Brain, Image width 240 mm, 1.00 mm slice spacing, Slice index 70
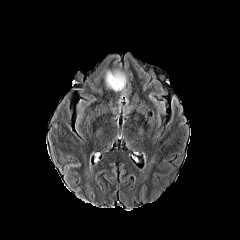
FLAIR MR image.
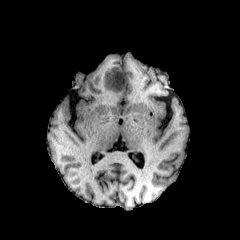
T1-weighted MR of the same slice.
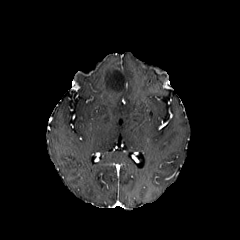
Post-contrast T1-weighted MRI.
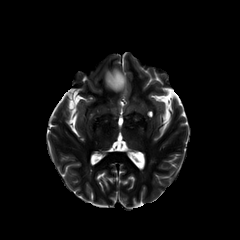
T2-weighted MRI.
peritumoral edema: x1=105 y1=70 x2=125 y2=92